FLAIR MR.
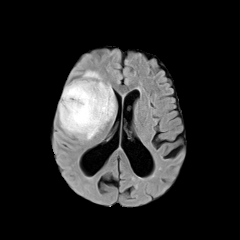
T1-weighted MR image.
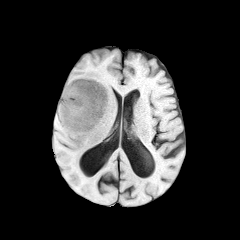
Post-contrast T1-weighted MR.
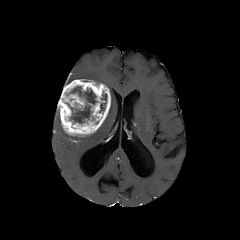
T2-weighted MR.
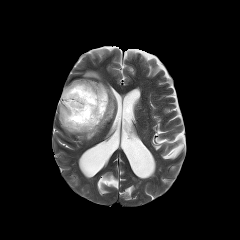
Head | Axial slice
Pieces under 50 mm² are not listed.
enhancing tumor: (x1=58, y1=79, x2=110, y2=136) | peritumoral edema: (x1=76, y1=85, x2=115, y2=140), (x1=83, y1=71, x2=104, y2=83) | necrotic tumor core: (x1=70, y1=106, x2=90, y2=123), (x1=71, y1=86, x2=96, y2=103)